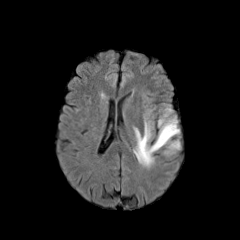
FLAIR MR.
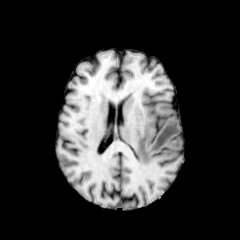
T1-weighted MRI of the same slice.
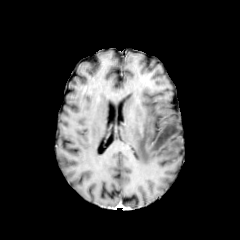
Same slice, post-contrast T1-weighted MR image.
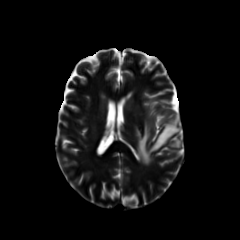
T2-weighted magnetic resonance.
Axial view
peritumoral_edema:
  - <bbox>170, 140, 180, 147</bbox>
  - <bbox>134, 124, 179, 163</bbox>